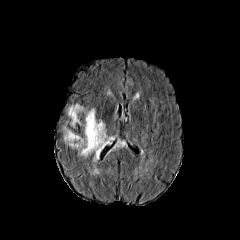
FLAIR MRI.
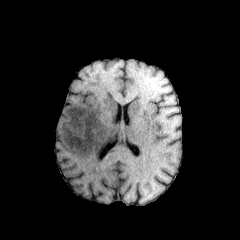
Same slice, T1-weighted MRI.
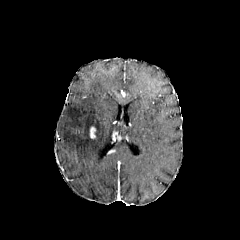
Post-contrast T1-weighted MR image.
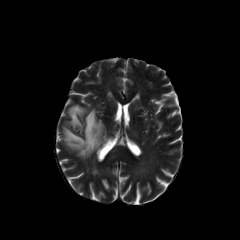
T2-weighted magnetic resonance.
Head.
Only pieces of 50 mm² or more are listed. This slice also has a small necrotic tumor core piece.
{
  "peritumoral_edema": [
    "67,103,84,127",
    "114,140,127,148",
    "63,108,111,174"
  ],
  "enhancing_tumor": [
    "89,126,96,138",
    "111,130,121,143"
  ]
}